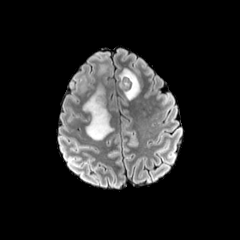
FLAIR MR image.
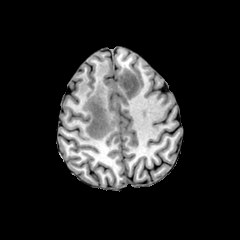
Same slice, T1-weighted magnetic resonance.
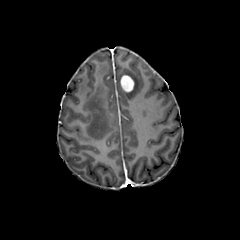
Post-contrast T1-weighted MR.
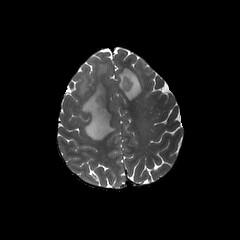
T2-weighted MR.
Brain; 240x240 px
The enhancing tumor appears at x1=120, y1=75, x2=134, y2=92. The necrotic tumor core is at x1=123, y1=77, x2=131, y2=90. 3 peritumoral edema regions appear at x1=119, y1=66, x2=141, y2=101; x1=79, y1=70, x2=88, y2=94; x1=82, y1=61, x2=113, y2=140.